Brain | Axial plane
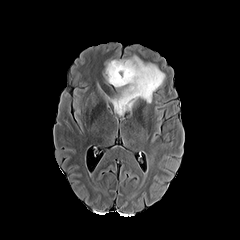
FLAIR MRI.
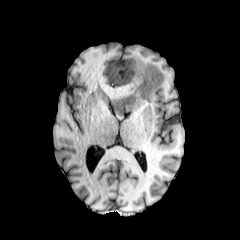
T1-weighted MRI.
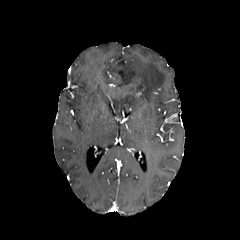
Post-contrast T1-weighted MRI of the same slice.
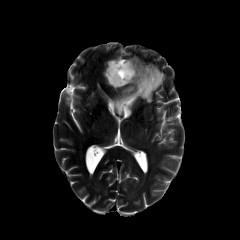
T2-weighted magnetic resonance of the same slice.
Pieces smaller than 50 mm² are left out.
The peritumoral edema is located at [102, 54, 165, 117]. The largest enhancing tumor region is bounded by [108, 72, 120, 82]. The largest necrotic tumor core region is located at [110, 61, 125, 80].